FLAIR magnetic resonance.
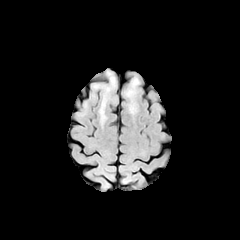
T1-weighted MR image.
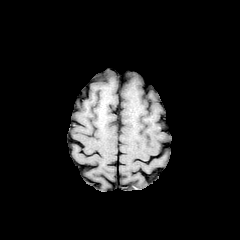
Post-contrast T1-weighted MR.
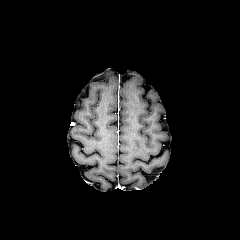
T2-weighted MR.
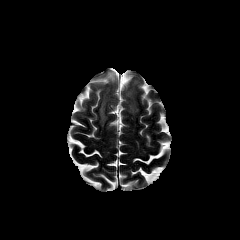
Axial view
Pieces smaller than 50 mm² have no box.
peritumoral_edema:
  - (left=124, top=76, right=139, bottom=113)
  - (left=99, top=70, right=116, bottom=124)